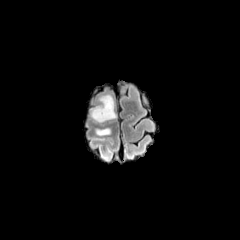
FLAIR MR.
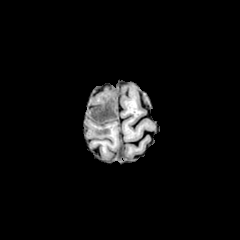
T1-weighted MR image.
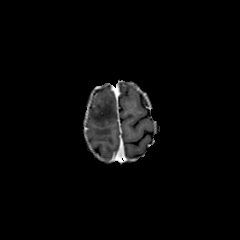
Post-contrast T1-weighted MR.
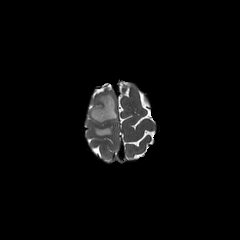
T2-weighted magnetic resonance.
Brain
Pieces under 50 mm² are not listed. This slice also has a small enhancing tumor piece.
{"peritumoral_edema": ["89, 93, 116, 124", "93, 127, 111, 135"]}